FLAIR MR.
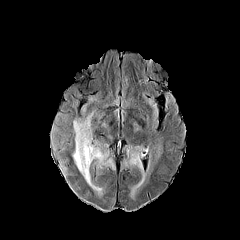
T1-weighted MRI.
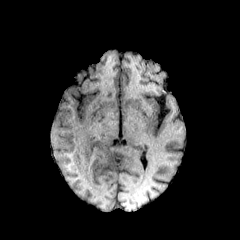
Post-contrast T1-weighted magnetic resonance.
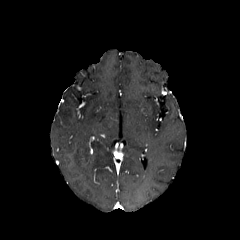
T2-weighted MR.
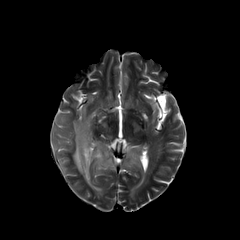
Image size 240x240; Head
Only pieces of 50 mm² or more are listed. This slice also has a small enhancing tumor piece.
3 peritumoral edema regions appear at <bbox>55, 114, 113, 194</bbox>, <bbox>126, 149, 141, 167</bbox>, <bbox>57, 151, 68, 156</bbox>.